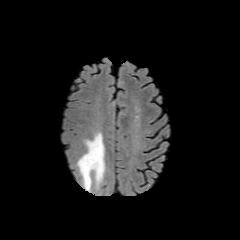
FLAIR MR image.
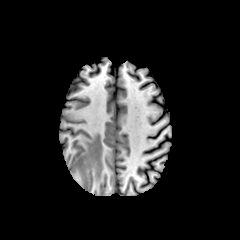
T1-weighted magnetic resonance.
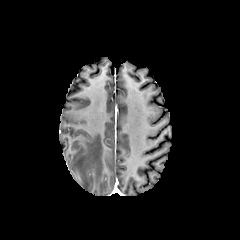
Post-contrast T1-weighted MR.
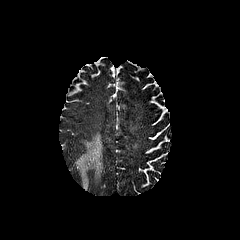
Same slice, T2-weighted magnetic resonance.
The peritumoral edema is at x1=76, y1=132, x2=105, y2=190.